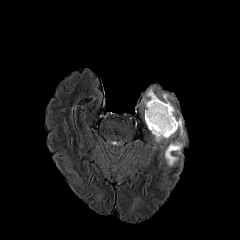
FLAIR MR image.
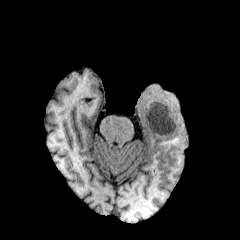
T1-weighted MRI.
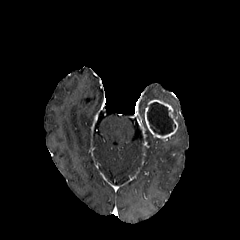
Post-contrast T1-weighted MR of the same slice.
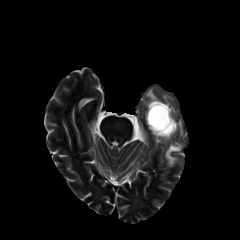
Same slice, T2-weighted MRI.
Brain
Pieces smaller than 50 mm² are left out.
The enhancing tumor is bounded by bbox=[144, 99, 178, 140]. The 4 largest peritumoral edema regions appear at bbox=[165, 141, 184, 166]; bbox=[162, 93, 176, 115]; bbox=[177, 118, 184, 136]; bbox=[142, 87, 159, 107]. The necrotic tumor core is bounded by bbox=[147, 102, 175, 135].